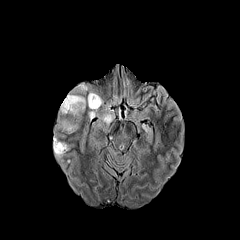
FLAIR MR.
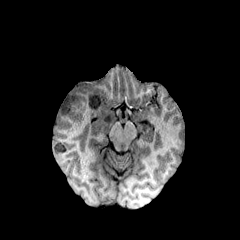
T1-weighted MRI.
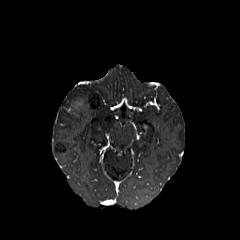
Post-contrast T1-weighted magnetic resonance of the same slice.
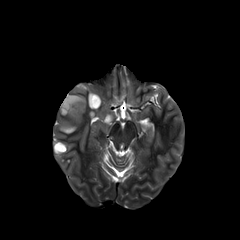
T2-weighted MR image.
Image size 240x240.
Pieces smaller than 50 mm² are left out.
necrotic_tumor_core:
  - bbox(70, 106, 82, 114)
enhancing_tumor:
  - bbox(71, 100, 83, 110)
peritumoral_edema:
  - bbox(88, 91, 101, 110)
  - bbox(54, 139, 65, 156)
  - bbox(62, 85, 88, 112)
  - bbox(100, 113, 113, 124)